Axial plane | Slice 86/155
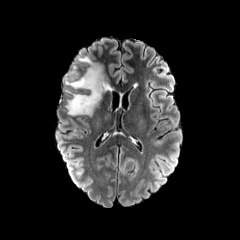
FLAIR magnetic resonance.
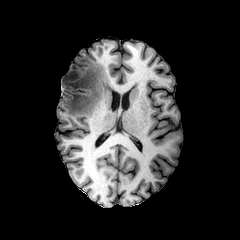
T1-weighted MR.
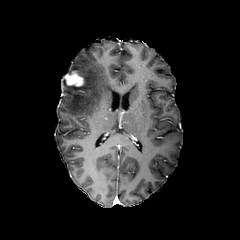
Post-contrast T1-weighted MR image of the same slice.
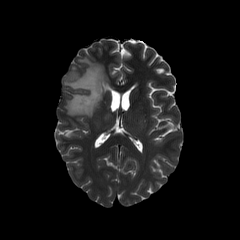
T2-weighted MR of the same slice.
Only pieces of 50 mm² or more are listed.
The enhancing tumor is bounded by rect(63, 71, 84, 86). The largest peritumoral edema region appears at rect(65, 56, 108, 115).